Slice 73/155
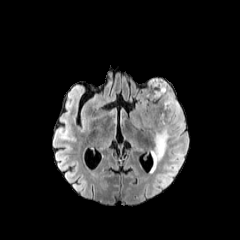
FLAIR MRI.
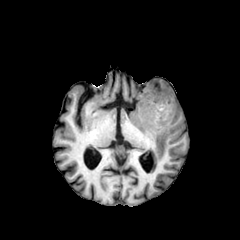
T1-weighted MR image of the same slice.
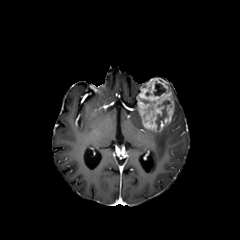
Post-contrast T1-weighted MR.
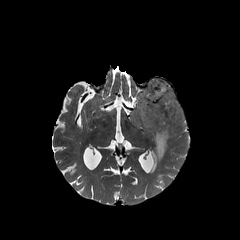
T2-weighted MR image.
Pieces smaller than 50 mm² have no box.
The 2 largest necrotic tumor core regions are located at (x1=156, y1=100, x2=170, y2=129), (x1=153, y1=83, x2=165, y2=95). The enhancing tumor is located at (x1=137, y1=78, x2=174, y2=131). The 2 largest peritumoral edema regions appear at (x1=150, y1=125, x2=170, y2=172), (x1=172, y1=98, x2=184, y2=129).